Head, Image width 240 mm, 240x240
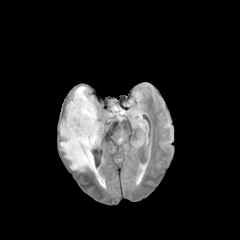
FLAIR MRI.
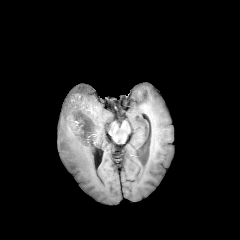
T1-weighted magnetic resonance.
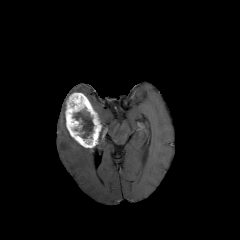
Post-contrast T1-weighted MR of the same slice.
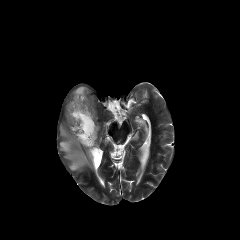
T2-weighted MRI of the same slice.
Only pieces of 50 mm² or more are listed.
enhancing_tumor:
  - [65, 92, 101, 148]
necrotic_tumor_core:
  - [73, 110, 93, 138]
peritumoral_edema:
  - [60, 122, 96, 173]
  - [74, 86, 87, 95]